FLAIR MRI.
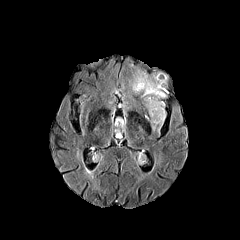
T1-weighted MRI.
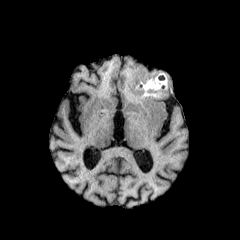
Post-contrast T1-weighted MR image.
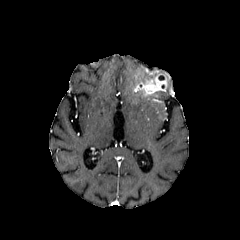
T2-weighted MRI.
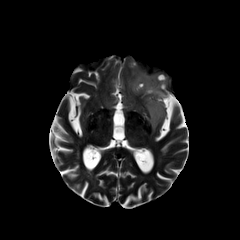
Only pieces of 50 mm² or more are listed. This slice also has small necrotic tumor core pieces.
Segmented structures:
- peritumoral edema: bbox(142, 91, 168, 131); bbox(130, 69, 139, 90); bbox(141, 70, 156, 82)
- enhancing tumor: bbox(133, 70, 168, 95)